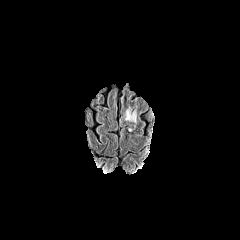
FLAIR magnetic resonance.
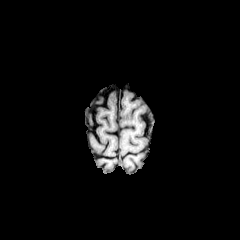
T1-weighted magnetic resonance.
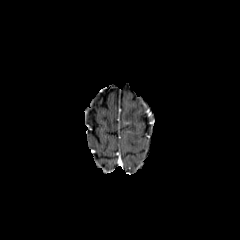
Post-contrast T1-weighted MR of the same slice.
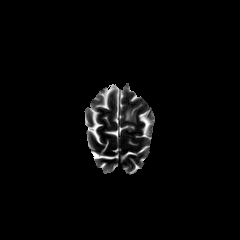
T2-weighted MR image of the same slice.
Brain; Axial plane
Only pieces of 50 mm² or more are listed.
Findings:
* peritumoral edema: (left=125, top=109, right=135, bottom=122)